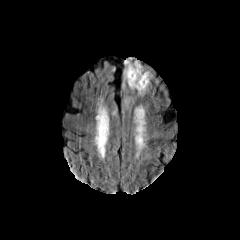
FLAIR magnetic resonance.
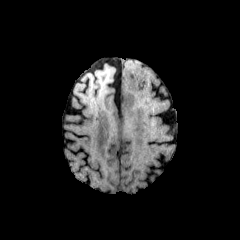
T1-weighted MRI.
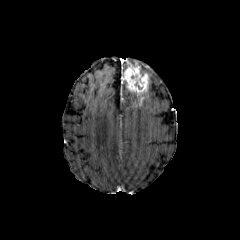
Post-contrast T1-weighted MR image of the same slice.
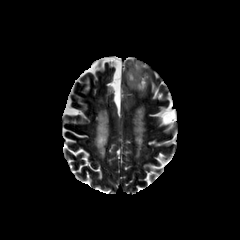
Same slice, T2-weighted magnetic resonance.
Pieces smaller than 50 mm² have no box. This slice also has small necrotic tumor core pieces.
enhancing tumor: [x1=123, y1=62, x2=148, y2=94]
peritumoral edema: [x1=141, y1=66, x2=151, y2=90], [x1=137, y1=91, x2=147, y2=101]